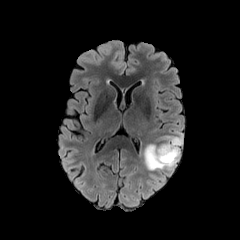
FLAIR MR image.
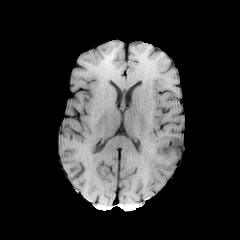
T1-weighted magnetic resonance.
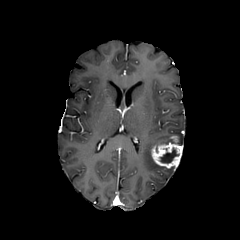
Same slice, post-contrast T1-weighted MR.
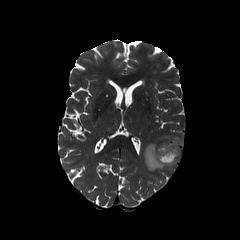
T2-weighted MRI.
Axial slice
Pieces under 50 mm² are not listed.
necrotic tumor core: 160,148,179,162
peritumoral edema: 143,135,175,172
enhancing tumor: 151,136,181,168